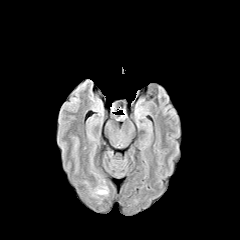
FLAIR magnetic resonance.
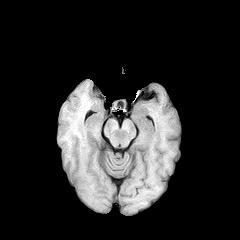
Same slice, T1-weighted magnetic resonance.
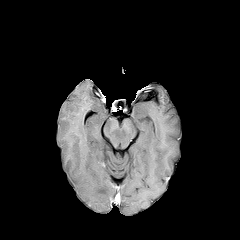
Post-contrast T1-weighted MRI.
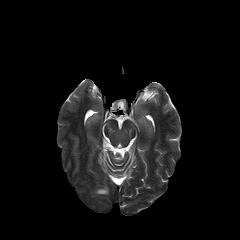
T2-weighted MR image of the same slice.
Axial plane, Brain
peritumoral edema: bbox=[96, 187, 107, 194]